Axial slice. Image size 240x240.
FLAIR MR image.
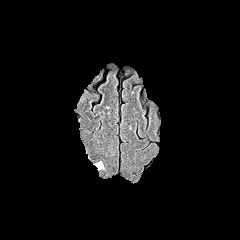
T1-weighted MR image.
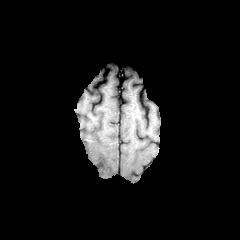
Post-contrast T1-weighted MRI.
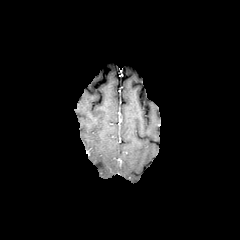
T2-weighted MRI.
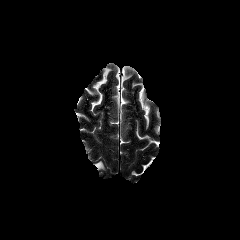
The peritumoral edema is at (x1=94, y1=161, x2=104, y2=169).